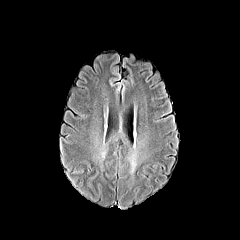
FLAIR MRI.
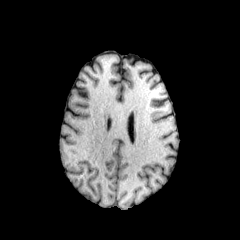
T1-weighted MR image.
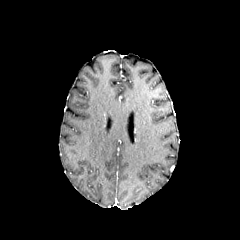
Same slice, post-contrast T1-weighted magnetic resonance.
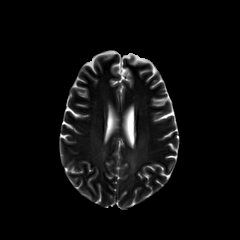
T2-weighted MR.
Image size 240x240.
peritumoral edema — (left=128, top=152, right=136, bottom=173)